Head
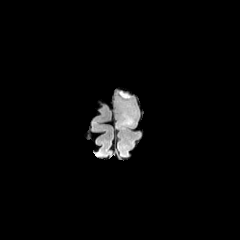
FLAIR MR image.
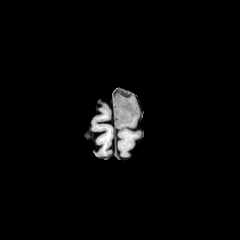
Same slice, T1-weighted MR image.
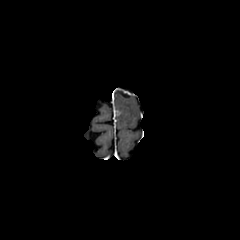
Post-contrast T1-weighted MR.
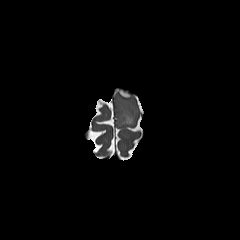
Same slice, T2-weighted MR.
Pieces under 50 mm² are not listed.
Segmented structures:
- enhancing tumor: [118,89,131,98]
- peritumoral edema: [115,94,138,126]